FLAIR MR image.
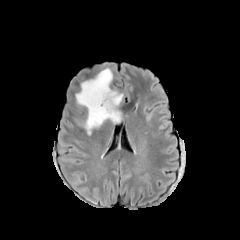
T1-weighted magnetic resonance.
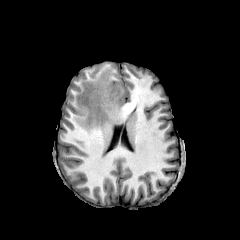
Post-contrast T1-weighted magnetic resonance.
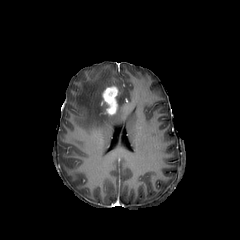
T2-weighted magnetic resonance.
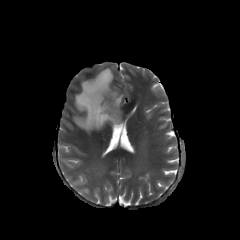
Axial plane; Brain
enhancing_tumor:
  - (x1=101, y1=86, x2=118, y2=114)
peritumoral_edema:
  - (x1=75, y1=68, x2=123, y2=133)